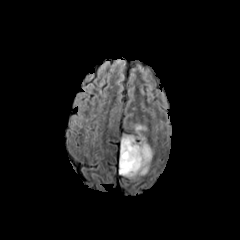
FLAIR MR image.
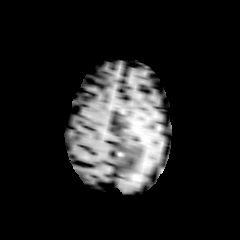
T1-weighted MRI.
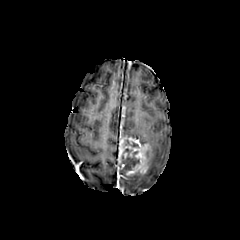
Post-contrast T1-weighted MR.
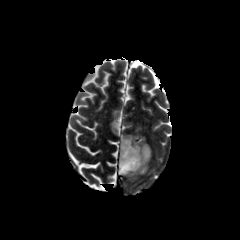
T2-weighted MR of the same slice.
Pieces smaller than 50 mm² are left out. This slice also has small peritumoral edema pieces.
necrotic_tumor_core:
  - (x1=122, y1=148, x2=139, y2=172)
  - (x1=125, y1=140, x2=138, y2=147)
enhancing_tumor:
  - (x1=118, y1=136, x2=152, y2=179)